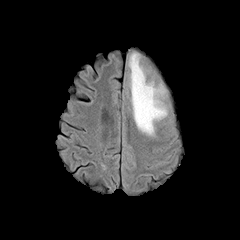
FLAIR MRI.
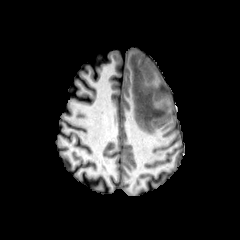
Same slice, T1-weighted MR image.
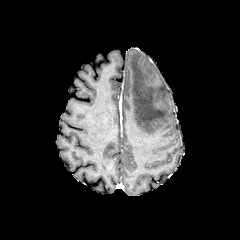
Same slice, post-contrast T1-weighted MR image.
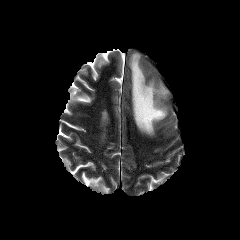
Same slice, T2-weighted MR image.
Brain; 240x240; Axial plane
The peritumoral edema is at [128, 52, 167, 135].